Image width 240 mm, Axial plane
FLAIR magnetic resonance.
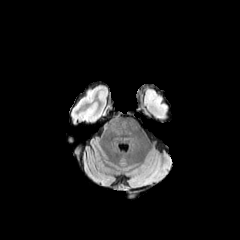
T1-weighted MR image.
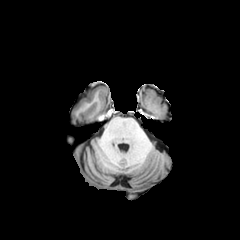
Post-contrast T1-weighted magnetic resonance.
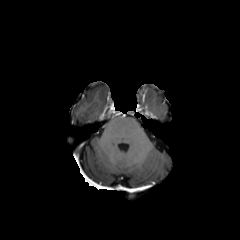
T2-weighted MR.
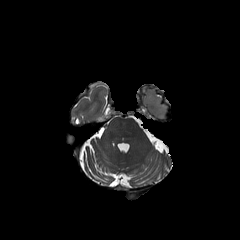
The peritumoral edema is at (144, 90, 167, 119).